FLAIR MRI.
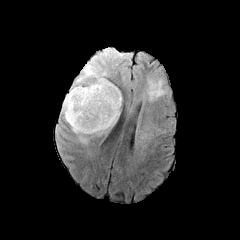
T1-weighted magnetic resonance.
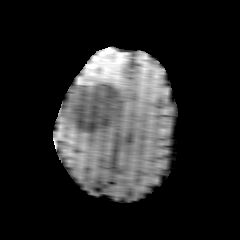
Post-contrast T1-weighted MR.
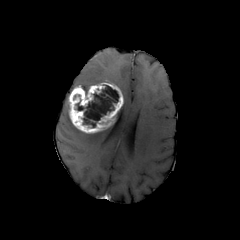
T2-weighted MR image.
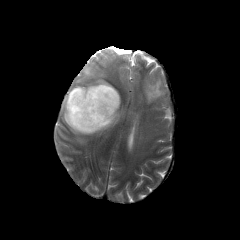
240x240 | Head
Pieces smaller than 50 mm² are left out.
peritumoral_edema:
  - <box>66,62,105,96</box>
  - <box>61,98,115,143</box>
necrotic_tumor_core:
  - <box>84,86,118,126</box>
enhancing_tumor:
  - <box>66,81,123,133</box>